Head; 240x240
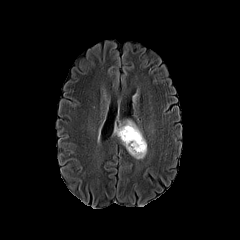
FLAIR MR.
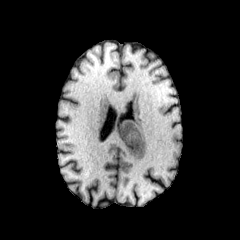
T1-weighted magnetic resonance.
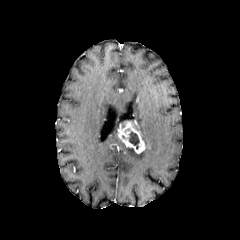
Post-contrast T1-weighted MR image of the same slice.
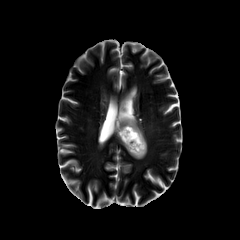
T2-weighted MR image of the same slice.
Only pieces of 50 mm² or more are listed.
<segmentation>
  <peritumoral_edema>126 125 147 158</peritumoral_edema>
  <enhancing_tumor>117 121 145 153</enhancing_tumor>
  <necrotic_tumor_core>129 132 139 149</necrotic_tumor_core>
</segmentation>